240x240 px, Axial plane, Slice 109/155
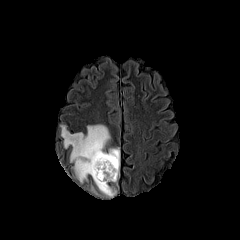
FLAIR MR.
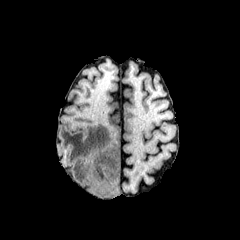
Same slice, T1-weighted MRI.
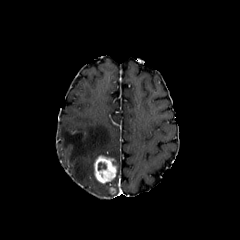
Post-contrast T1-weighted MRI.
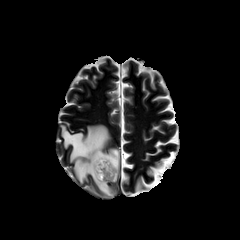
Same slice, T2-weighted MR image.
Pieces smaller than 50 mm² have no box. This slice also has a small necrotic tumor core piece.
enhancing_tumor:
  - left=93, top=155, right=117, bottom=183
peritumoral_edema:
  - left=60, top=124, right=119, bottom=196